Image size 240x240; Slice 47/155
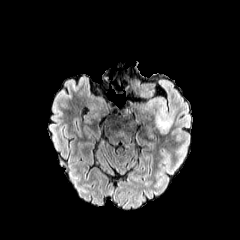
FLAIR MR.
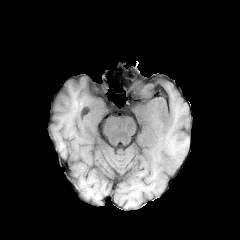
Same slice, T1-weighted magnetic resonance.
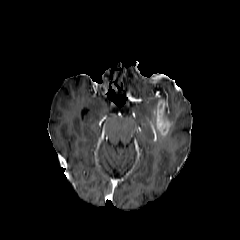
Post-contrast T1-weighted magnetic resonance.
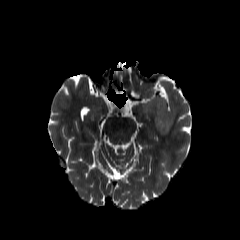
Same slice, T2-weighted MRI.
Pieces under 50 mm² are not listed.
Segmented structures:
- enhancing tumor: region(152, 99, 172, 135)
- peritumoral edema: region(166, 105, 174, 120); region(147, 98, 161, 110)